FLAIR MR.
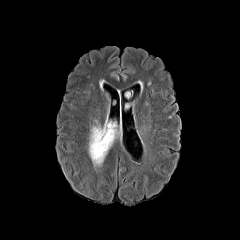
T1-weighted MR image.
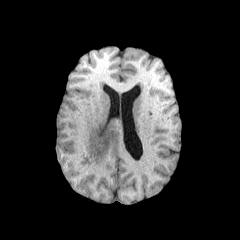
Post-contrast T1-weighted magnetic resonance.
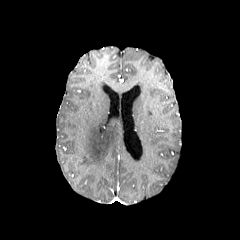
T2-weighted MR image.
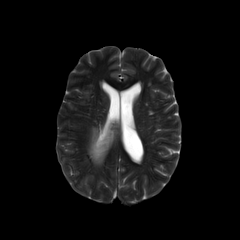
Head | 240x240 px
peritumoral edema at <bbox>88, 121, 119, 165</bbox>